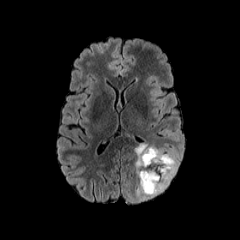
FLAIR magnetic resonance.
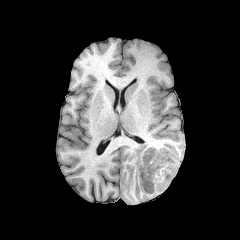
T1-weighted MRI of the same slice.
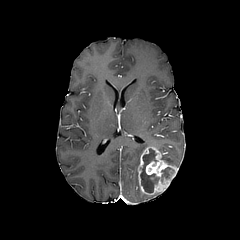
Same slice, post-contrast T1-weighted magnetic resonance.
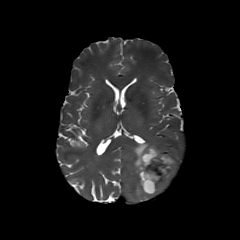
T2-weighted MRI.
Head | Image size 240x240 | Axial view
necrotic tumor core: <bbox>140, 148, 173, 193</bbox>
enhancing tumor: <bbox>137, 146, 177, 194</bbox>
peritumoral edema: <bbox>134, 143, 159, 200</bbox>, <bbox>158, 149, 178, 167</bbox>